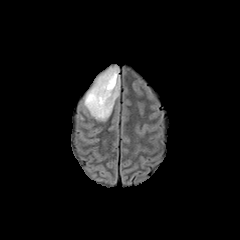
FLAIR magnetic resonance.
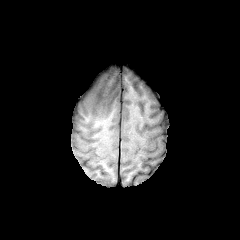
T1-weighted magnetic resonance of the same slice.
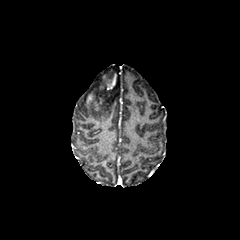
Post-contrast T1-weighted MR image.
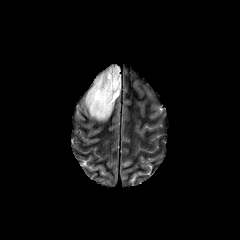
T2-weighted magnetic resonance.
Axial view | Image size 240x240
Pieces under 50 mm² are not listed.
Annotated regions:
- peritumoral edema: 84 67 120 121
- enhancing tumor: 85 91 103 111, 99 73 116 92